FLAIR magnetic resonance.
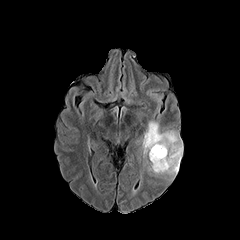
T1-weighted MRI.
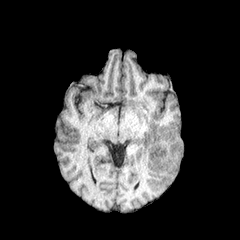
Post-contrast T1-weighted MRI.
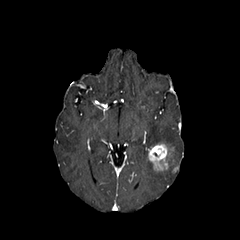
T2-weighted magnetic resonance.
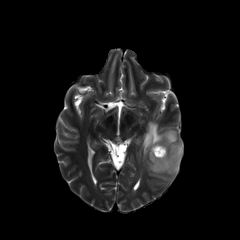
Head | Axial view
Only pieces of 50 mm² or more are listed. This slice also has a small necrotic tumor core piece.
<segmentation>
  <enhancing_tumor>148, 143, 173, 171</enhancing_tumor>
  <peritumoral_edema>142, 121, 183, 177</peritumoral_edema>
</segmentation>